FLAIR MR image.
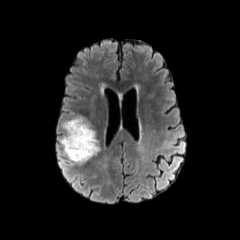
T1-weighted MR image.
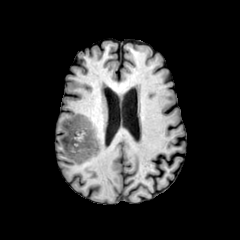
Post-contrast T1-weighted magnetic resonance.
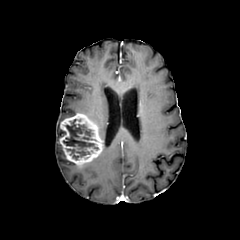
T2-weighted magnetic resonance.
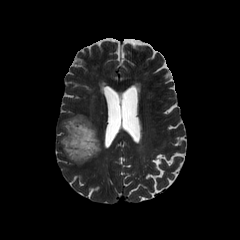
240x240 px, Axial slice, Head
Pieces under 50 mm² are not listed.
enhancing tumor: (left=59, top=113, right=102, bottom=165) | necrotic tumor core: (left=63, top=119, right=98, bottom=159)